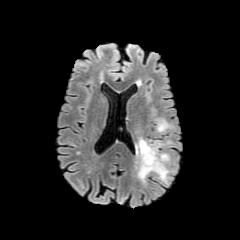
FLAIR MR image.
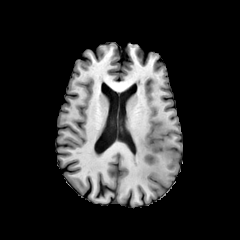
T1-weighted MRI.
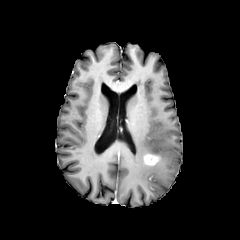
Post-contrast T1-weighted MRI.
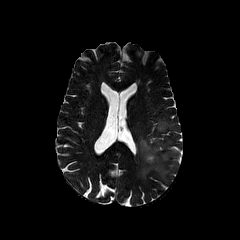
T2-weighted MRI.
Image size 240x240.
Annotated regions:
• peritumoral edema: [136, 138, 169, 182], [157, 123, 166, 131]
• enhancing tumor: [143, 154, 159, 165]